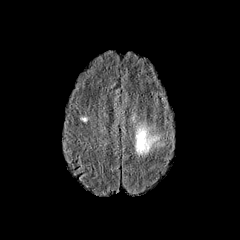
FLAIR MRI.
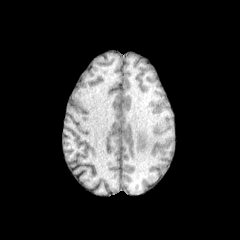
T1-weighted MR.
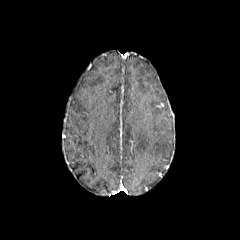
Post-contrast T1-weighted MR image.
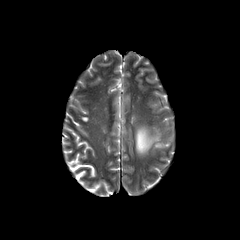
T2-weighted magnetic resonance.
Head.
<segmentation>
  <peritumoral_edema>rect(135, 127, 158, 154)</peritumoral_edema>
</segmentation>